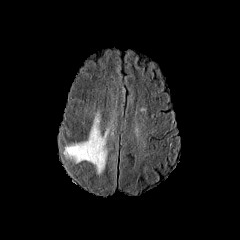
FLAIR MR image.
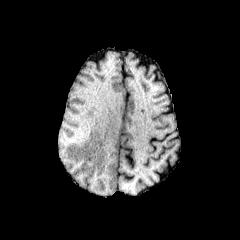
Same slice, T1-weighted MR image.
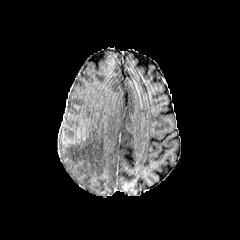
Post-contrast T1-weighted MR image.
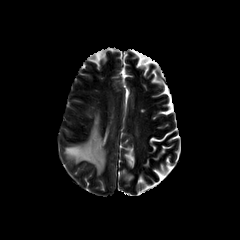
Same slice, T2-weighted MRI.
Image size 240x240
{"peritumoral_edema": ["(left=64, top=112, right=109, bottom=174)"]}